FLAIR MR.
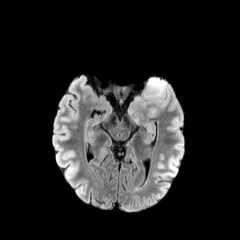
T1-weighted MRI.
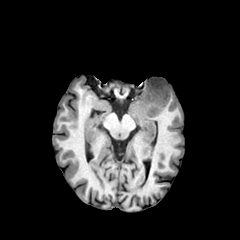
Post-contrast T1-weighted MR.
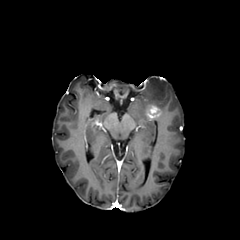
T2-weighted MR.
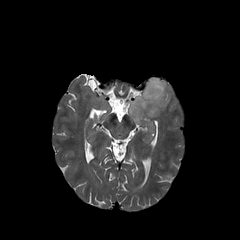
Head | Axial slice
peritumoral edema — box=[128, 77, 170, 122]
enhancing tumor — box=[146, 105, 161, 118]